FLAIR MR.
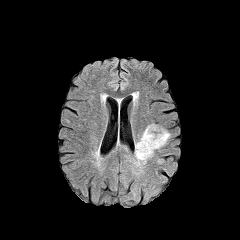
T1-weighted MRI.
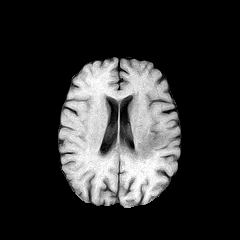
Post-contrast T1-weighted MRI.
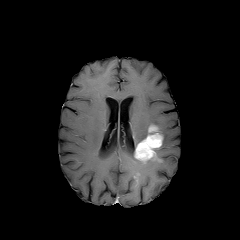
T2-weighted magnetic resonance.
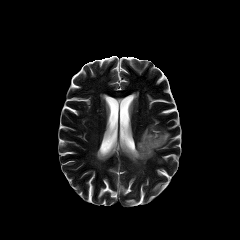
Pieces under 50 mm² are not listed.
The 3 largest peritumoral edema regions are located at left=133, top=158, right=146, bottom=167; left=135, top=125, right=150, bottom=148; left=158, top=127, right=170, bottom=146. The largest enhancing tumor region lies within left=134, top=125, right=163, bottom=162.